FLAIR MR.
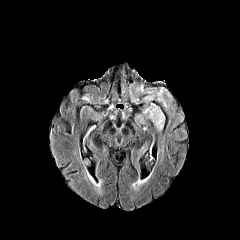
T1-weighted MR.
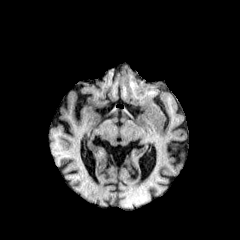
Post-contrast T1-weighted MR image.
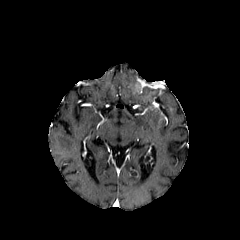
T2-weighted magnetic resonance.
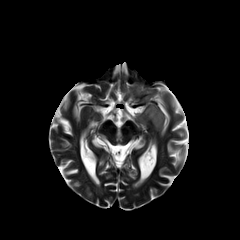
Head, Axial plane
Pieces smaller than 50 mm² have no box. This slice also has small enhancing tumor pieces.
peritumoral_edema:
  - box=[146, 103, 164, 130]